FLAIR MR image.
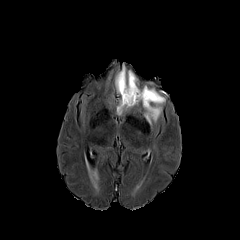
T1-weighted MR image.
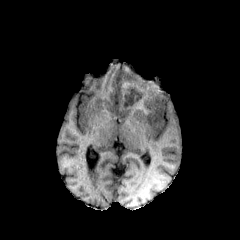
Post-contrast T1-weighted magnetic resonance.
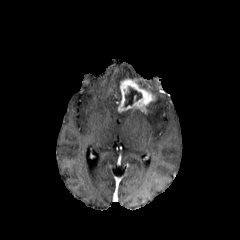
T2-weighted MR.
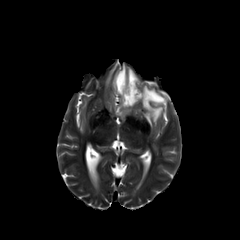
240x240 px | Brain
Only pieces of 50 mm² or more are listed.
The enhancing tumor is at bbox(117, 78, 155, 112). The necrotic tumor core is bounded by bbox(124, 87, 141, 106). The 2 largest peritumoral edema regions are located at bbox(143, 85, 165, 125); bbox(115, 65, 137, 94).